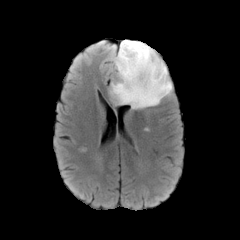
FLAIR MRI.
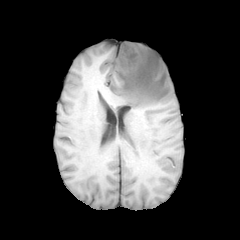
T1-weighted MR.
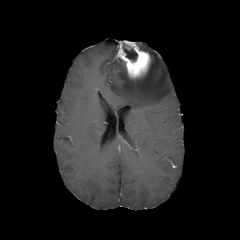
Post-contrast T1-weighted MRI of the same slice.
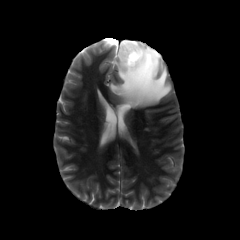
T2-weighted MR.
240x240
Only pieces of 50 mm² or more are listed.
The largest peritumoral edema region is located at l=110, t=43, r=172, b=109. The necrotic tumor core lies within l=124, t=47, r=137, b=60. The enhancing tumor lies within l=115, t=40, r=151, b=79.